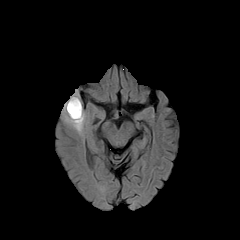
FLAIR magnetic resonance.
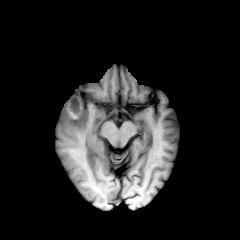
Same slice, T1-weighted MRI.
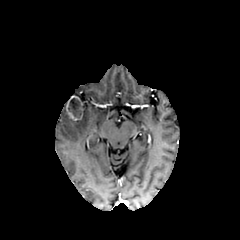
Post-contrast T1-weighted magnetic resonance of the same slice.
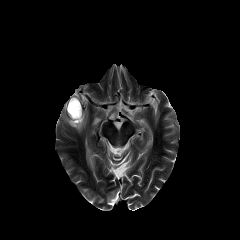
T2-weighted magnetic resonance.
Axial slice
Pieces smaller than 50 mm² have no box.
enhancing_tumor:
  - box(66, 95, 82, 120)
necrotic_tumor_core:
  - box(68, 98, 82, 117)
peritumoral_edema:
  - box(62, 101, 86, 133)